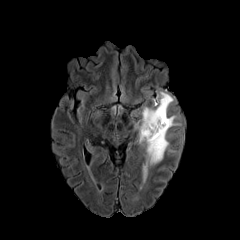
FLAIR magnetic resonance.
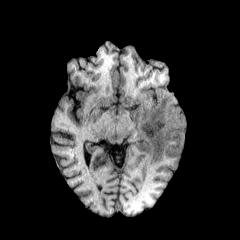
Same slice, T1-weighted MR image.
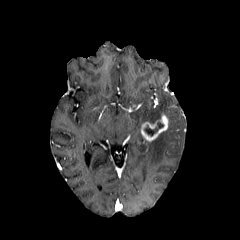
Same slice, post-contrast T1-weighted magnetic resonance.
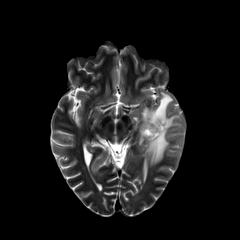
Same slice, T2-weighted magnetic resonance.
Axial slice, Head, 240x240 px
necrotic tumor core — x1=144 y1=122 x2=163 y2=135
enhancing tumor — x1=140 y1=113 x2=168 y2=141
peritumoral edema — x1=168 y1=115 x2=180 y2=128, x1=135 y1=91 x2=173 y2=182